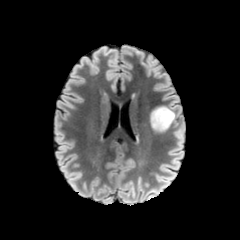
FLAIR MR image.
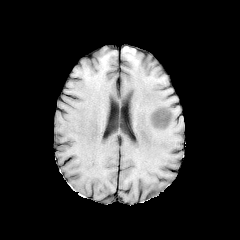
T1-weighted MR image of the same slice.
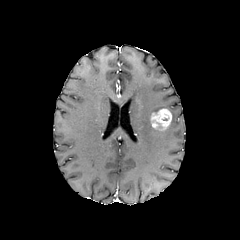
Same slice, post-contrast T1-weighted magnetic resonance.
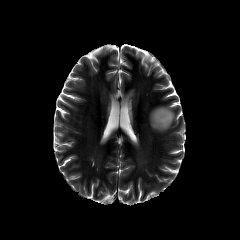
Same slice, T2-weighted MR image.
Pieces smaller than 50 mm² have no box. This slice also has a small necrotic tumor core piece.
{"enhancing_tumor": ["150:108:171:130"], "peritumoral_edema": ["150:106:176:131"]}